Brain, 240x240, Axial plane, Slice index 97
FLAIR MRI.
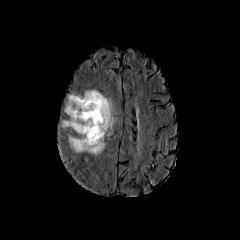
T1-weighted MR.
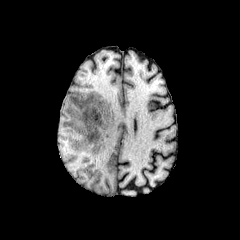
Post-contrast T1-weighted MRI.
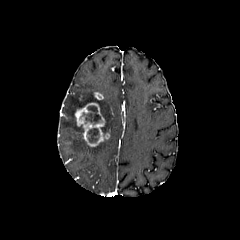
T2-weighted MR image.
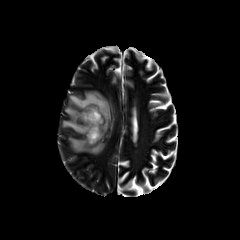
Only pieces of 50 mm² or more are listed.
Annotated regions:
* enhancing tumor: l=94, t=92, r=103, b=99; l=75, t=102, r=109, b=146
* peritumoral edema: l=62, t=90, r=113, b=154
* necrotic tumor core: l=86, t=105, r=100, b=122; l=88, t=128, r=98, b=143